240x240; Axial plane; Head; Slice 60 of 155
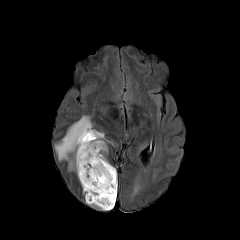
FLAIR magnetic resonance.
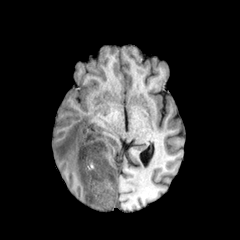
T1-weighted MR image.
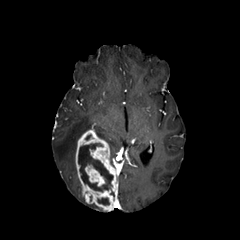
Same slice, post-contrast T1-weighted MRI.
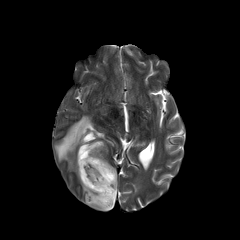
Same slice, T2-weighted MR.
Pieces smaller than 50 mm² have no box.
Segmented structures:
* enhancing tumor: (75, 129, 117, 211), (85, 164, 105, 186)
* peritumoral edema: (95, 130, 113, 144), (54, 115, 91, 172)
* necrotic tumor core: (78, 143, 113, 191), (97, 198, 109, 205)